Head; Slice 48 of 155
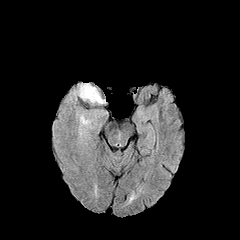
FLAIR MRI.
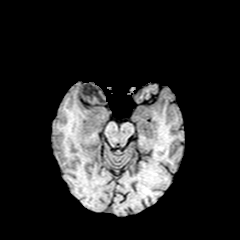
Same slice, T1-weighted MRI.
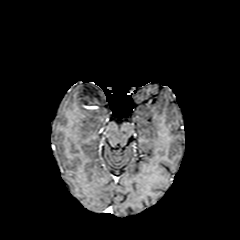
Post-contrast T1-weighted MR.
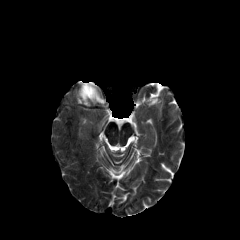
T2-weighted MRI of the same slice.
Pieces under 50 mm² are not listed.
Segmented structures:
• peritumoral edema: box(79, 83, 105, 103)